FLAIR MRI.
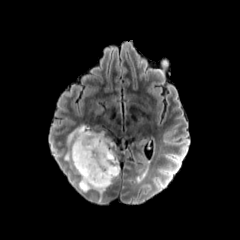
T1-weighted MR image.
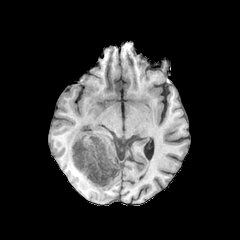
Post-contrast T1-weighted MR.
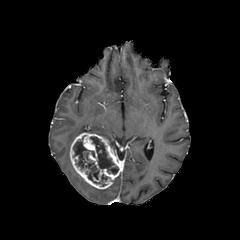
T2-weighted MR image.
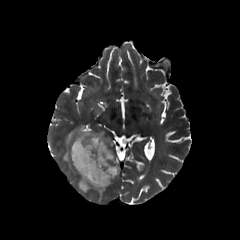
Head
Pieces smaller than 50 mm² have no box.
The largest enhancing tumor region is at l=70, t=132, r=120, b=189. 2 peritumoral edema regions are bounded by l=78, t=177, r=105, b=194; l=65, t=125, r=113, b=167. The 2 largest necrotic tumor core regions appear at l=73, t=135, r=99, b=183; l=90, t=136, r=118, b=174.